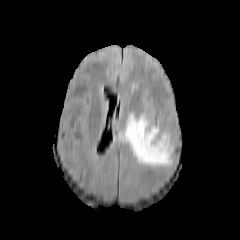
FLAIR MR image.
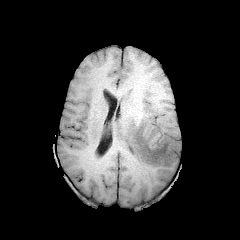
T1-weighted magnetic resonance.
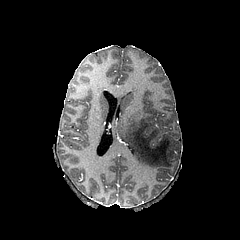
Same slice, post-contrast T1-weighted MRI.
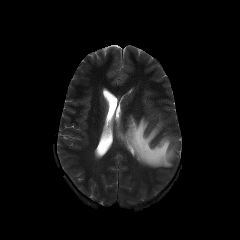
Same slice, T2-weighted MR.
Axial view. 240x240 px. Brain.
* peritumoral edema: {"x1": 120, "y1": 113, "x2": 175, "y2": 167}